Image width 240 mm
FLAIR MRI.
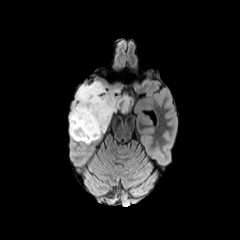
T1-weighted magnetic resonance.
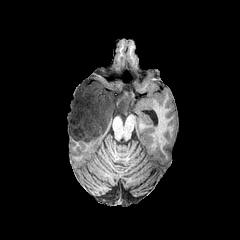
Post-contrast T1-weighted MR.
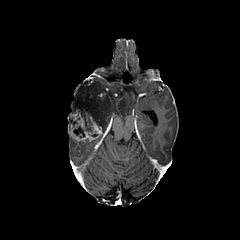
T2-weighted MR.
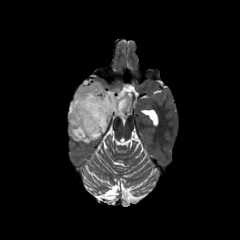
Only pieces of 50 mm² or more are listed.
necrotic tumor core = 84, 119, 92, 132; 73, 126, 84, 137
peritumoral edema = 70, 81, 130, 133
enhancing tumor = 69, 109, 101, 142